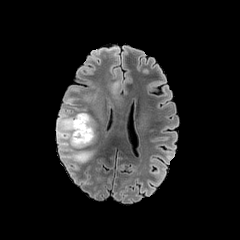
FLAIR MR.
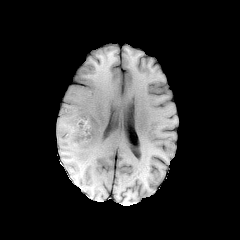
T1-weighted magnetic resonance.
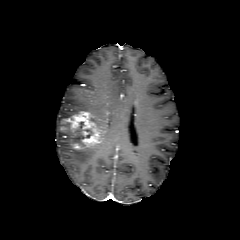
Post-contrast T1-weighted MRI of the same slice.
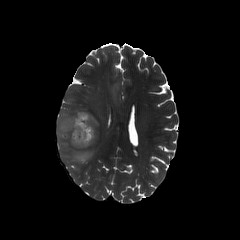
Same slice, T2-weighted MR image.
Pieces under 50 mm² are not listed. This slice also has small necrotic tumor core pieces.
{"enhancing_tumor": ["64, 111, 99, 148"], "peritumoral_edema": ["57, 108, 92, 163"]}